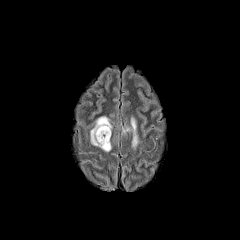
FLAIR magnetic resonance.
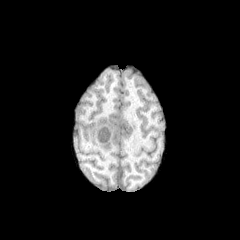
T1-weighted magnetic resonance.
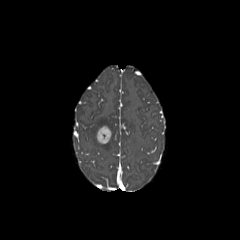
Post-contrast T1-weighted MR of the same slice.
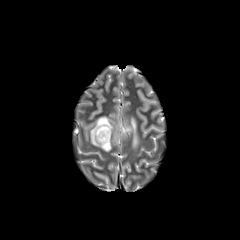
Same slice, T2-weighted magnetic resonance.
Axial slice; Brain
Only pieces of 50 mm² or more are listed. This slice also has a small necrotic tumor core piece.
peritumoral edema: <bbox>131, 117, 138, 148</bbox>, <bbox>90, 116, 112, 151</bbox> | enhancing tumor: <bbox>97, 126, 111, 143</bbox>